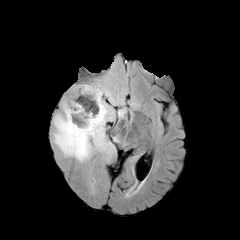
FLAIR MR image.
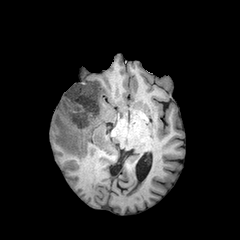
T1-weighted MR of the same slice.
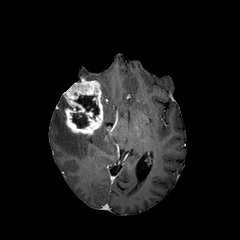
Same slice, post-contrast T1-weighted MR image.
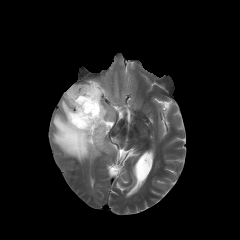
T2-weighted MR image.
Axial view
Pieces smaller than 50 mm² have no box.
<segmentation>
  <enhancing_tumor>box(63, 80, 103, 135)</enhancing_tumor>
  <necrotic_tumor_core>box(72, 113, 88, 128); box(74, 95, 99, 118)</necrotic_tumor_core>
  <peritumoral_edema>box(98, 81, 118, 104); box(53, 98, 114, 161); box(118, 109, 125, 117)</peritumoral_edema>
</segmentation>